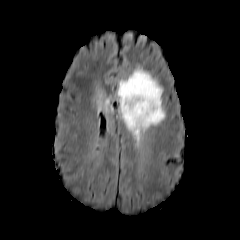
FLAIR magnetic resonance.
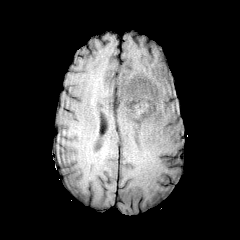
T1-weighted MRI.
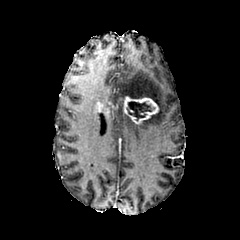
Post-contrast T1-weighted MR image of the same slice.
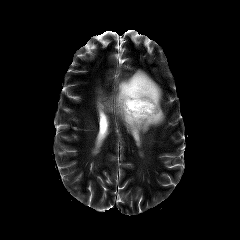
T2-weighted MR image.
Axial plane, Brain
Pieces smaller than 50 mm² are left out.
peritumoral_edema:
  - 117, 68, 165, 142
  - 97, 94, 112, 112
enhancing_tumor:
  - 123, 96, 158, 124
necrotic_tumor_core:
  - 127, 101, 151, 120